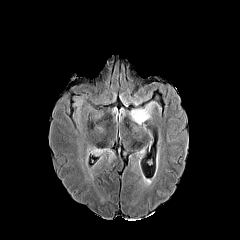
FLAIR MR image.
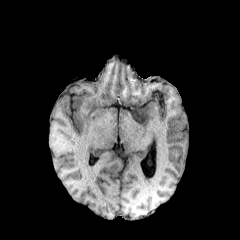
T1-weighted MR image of the same slice.
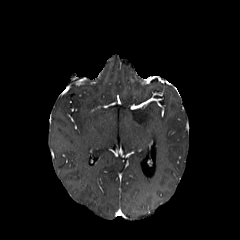
Post-contrast T1-weighted MR image.
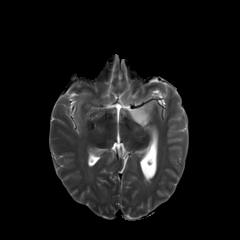
T2-weighted MR image.
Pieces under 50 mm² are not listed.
peritumoral edema: <bbox>89, 146, 111, 160</bbox>, <bbox>129, 102, 155, 124</bbox>